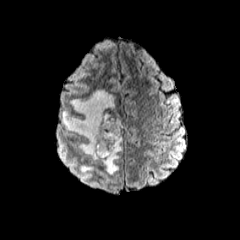
FLAIR magnetic resonance.
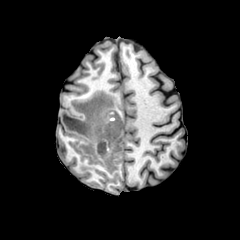
Same slice, T1-weighted MRI.
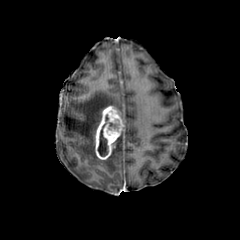
Same slice, post-contrast T1-weighted MR.
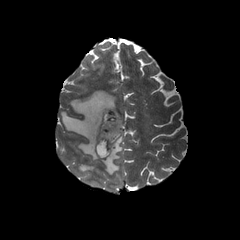
T2-weighted MR.
Brain, Image size 240x240
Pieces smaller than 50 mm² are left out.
necrotic_tumor_core:
  - box(98, 114, 119, 156)
peritumoral_edema:
  - box(62, 90, 122, 174)
  - box(80, 165, 93, 178)
enhancing_tumor:
  - box(94, 105, 123, 160)